Slice 60 of 155. Head.
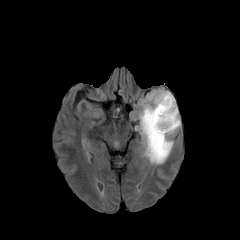
FLAIR magnetic resonance.
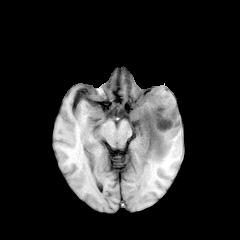
T1-weighted MR of the same slice.
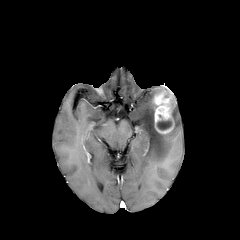
Post-contrast T1-weighted MR image.
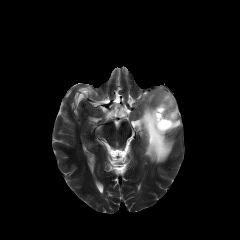
Same slice, T2-weighted MRI.
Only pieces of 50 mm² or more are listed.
enhancing tumor: left=153, top=90, right=174, bottom=134 | peritumoral edema: left=137, top=88, right=180, bottom=164 | necrotic tumor core: left=157, top=120, right=171, bottom=130